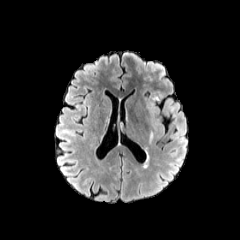
FLAIR MR.
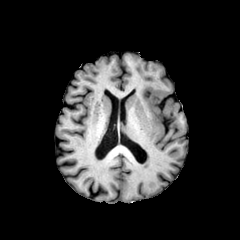
Same slice, T1-weighted MRI.
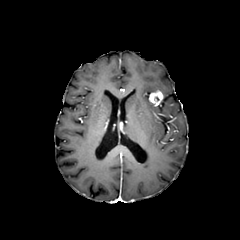
Post-contrast T1-weighted MRI.
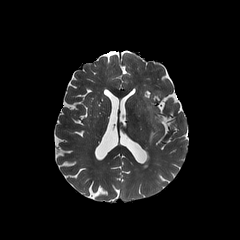
T2-weighted MR image.
Axial slice | Image size 240x240
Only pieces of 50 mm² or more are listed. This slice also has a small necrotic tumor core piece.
enhancing tumor at [149, 90, 163, 104]
peritumoral edema at [143, 152, 148, 168]